240x240, Slice 82 of 155, Brain, Image width 240 mm, 1.00 mm slice spacing
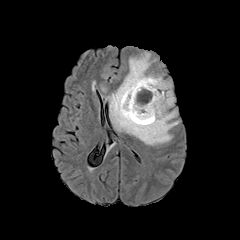
FLAIR MR image.
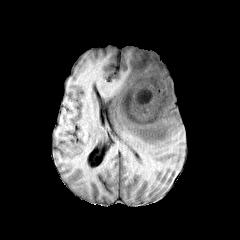
T1-weighted MRI of the same slice.
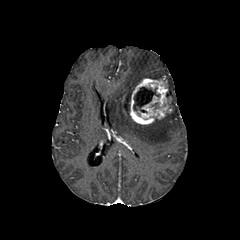
Post-contrast T1-weighted MRI.
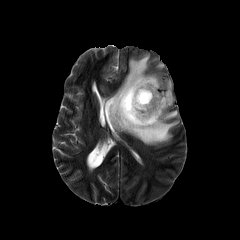
T2-weighted MRI of the same slice.
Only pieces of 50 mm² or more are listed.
The enhancing tumor is bounded by 122,78,172,124. The largest necrotic tumor core region is located at 133,87,159,112. The 2 largest peritumoral edema regions are bounded by 165,79,174,106; 105,52,179,145.